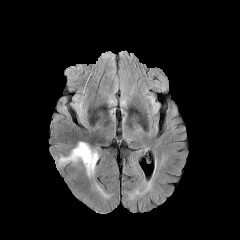
FLAIR MR.
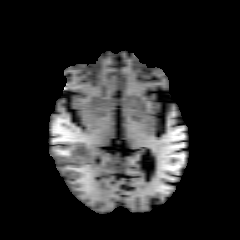
T1-weighted MRI.
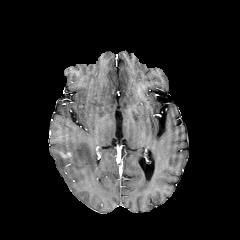
Post-contrast T1-weighted MR of the same slice.
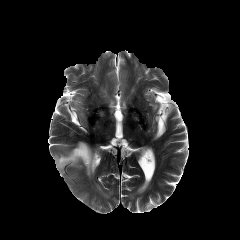
T2-weighted magnetic resonance.
Image size 240x240, Head
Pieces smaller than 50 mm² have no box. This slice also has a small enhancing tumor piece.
The peritumoral edema is at x1=56, y1=142, x2=97, y2=176.